Image covers 240 mm x 240 mm | Axial slice | Head
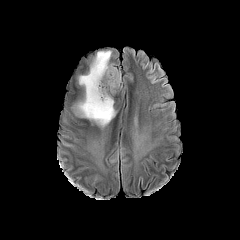
FLAIR magnetic resonance.
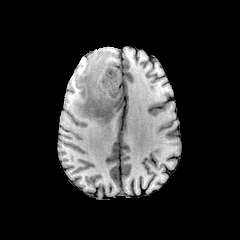
T1-weighted magnetic resonance.
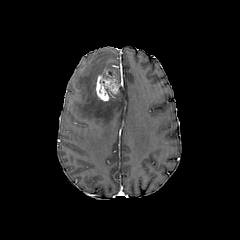
Same slice, post-contrast T1-weighted MR.
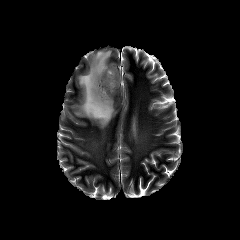
T2-weighted magnetic resonance.
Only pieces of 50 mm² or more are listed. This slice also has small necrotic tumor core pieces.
peritumoral_edema:
  - box(73, 50, 120, 127)
enhancing_tumor:
  - box(96, 69, 121, 101)